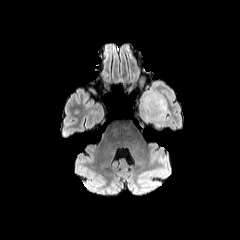
FLAIR MRI.
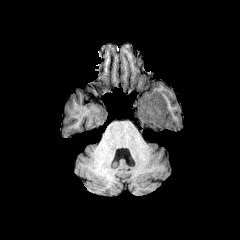
T1-weighted magnetic resonance.
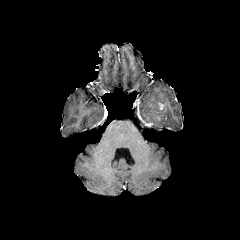
Post-contrast T1-weighted MR image.
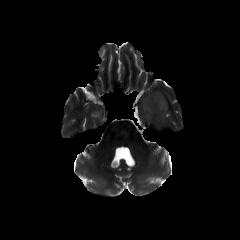
T2-weighted MR image.
Brain | Axial slice
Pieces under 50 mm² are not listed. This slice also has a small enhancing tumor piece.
Segmented structures:
• peritumoral edema: [x1=138, y1=91, x2=166, y2=127]